Slice index 94, Brain, Axial plane
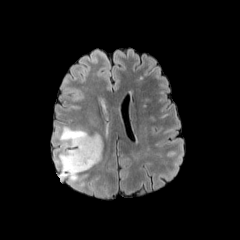
FLAIR MR.
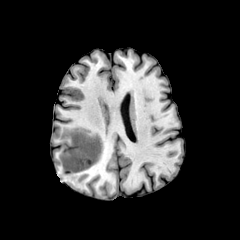
T1-weighted MR.
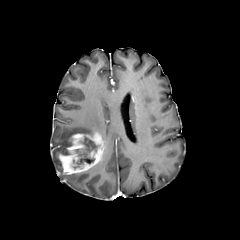
Same slice, post-contrast T1-weighted magnetic resonance.
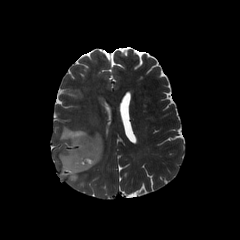
T2-weighted magnetic resonance.
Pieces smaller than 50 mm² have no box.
enhancing_tumor:
  - (x1=59, y1=132, x2=104, y2=174)
necrotic_tumor_core:
  - (x1=76, y1=137, x2=97, y2=164)
peritumoral_edema:
  - (x1=55, y1=126, x2=91, y2=154)
  - (x1=55, y1=155, x2=78, y2=182)